Image width 240 mm; Brain
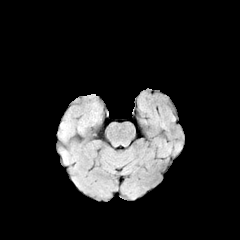
FLAIR MR image.
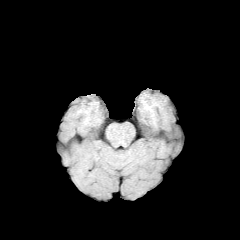
T1-weighted MRI of the same slice.
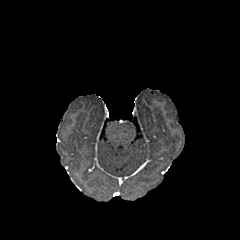
Same slice, post-contrast T1-weighted MR image.
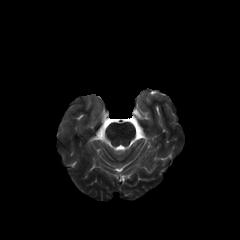
Same slice, T2-weighted MR.
Segmented structures:
• peritumoral edema: left=60, top=122, right=69, bottom=137